FLAIR MRI.
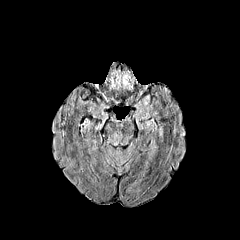
T1-weighted magnetic resonance.
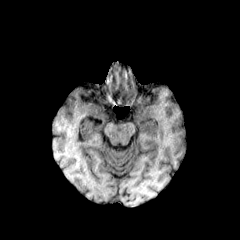
Post-contrast T1-weighted MR image.
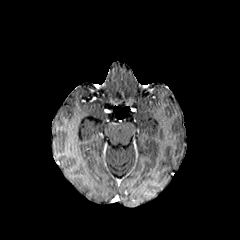
T2-weighted MRI.
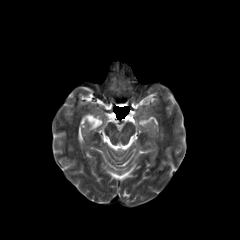
240x240 px, Axial slice
Findings:
• peritumoral edema: [110,75,116,88], [142,94,150,104], [115,70,132,89]